FLAIR MRI.
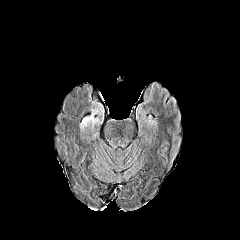
T1-weighted MR image.
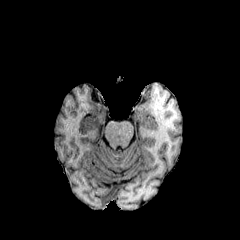
Post-contrast T1-weighted magnetic resonance.
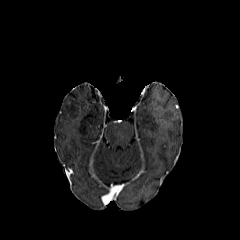
T2-weighted magnetic resonance.
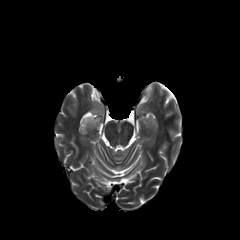
Axial view, Head
The peritumoral edema appears at l=80, t=117, r=93, b=127.